Brain | Slice 100 of 155 | Image size 240x240
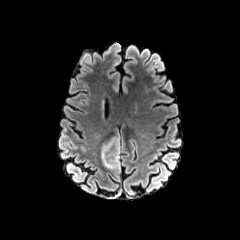
FLAIR MRI.
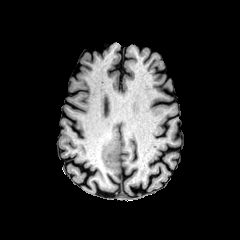
Same slice, T1-weighted MR image.
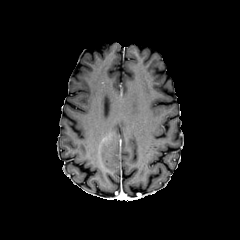
Same slice, post-contrast T1-weighted MR image.
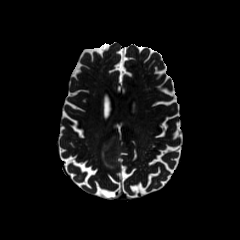
Same slice, T2-weighted MRI.
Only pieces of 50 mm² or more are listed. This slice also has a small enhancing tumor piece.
peritumoral_edema:
  - (101,130,120,171)